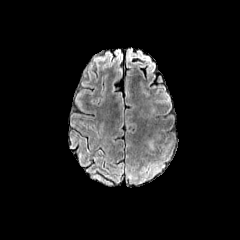
FLAIR MRI.
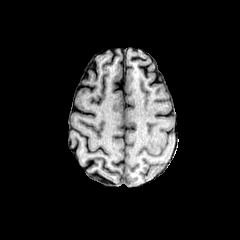
T1-weighted MR image of the same slice.
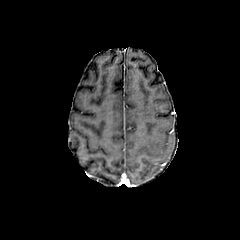
Post-contrast T1-weighted MR image.
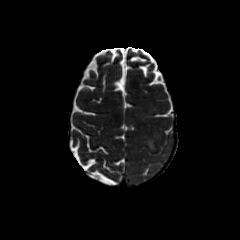
T2-weighted magnetic resonance of the same slice.
Axial slice.
<segmentation>
  <peritumoral_edema>(x1=146, y1=139, x2=153, y2=148)</peritumoral_edema>
</segmentation>